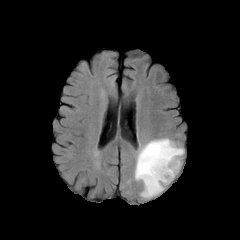
FLAIR MR image.
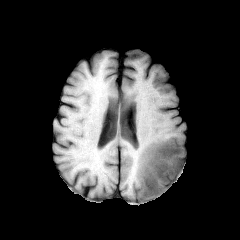
Same slice, T1-weighted magnetic resonance.
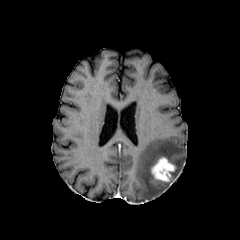
Post-contrast T1-weighted MR.
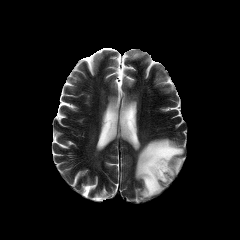
Same slice, T2-weighted MR image.
Axial plane
{
  "enhancing_tumor": [
    "[150, 157, 176, 182]"
  ],
  "peritumoral_edema": [
    "[134, 138, 184, 198]"
  ]
}